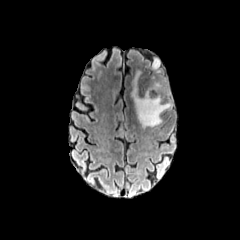
FLAIR magnetic resonance.
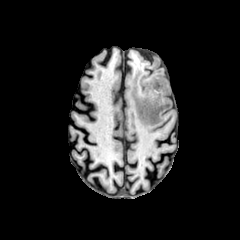
Same slice, T1-weighted MRI.
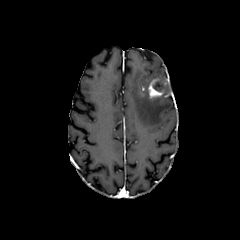
Post-contrast T1-weighted MR image of the same slice.
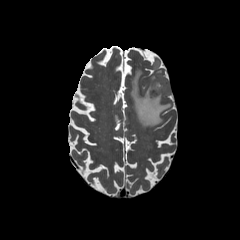
T2-weighted magnetic resonance.
Axial view, 240x240 px
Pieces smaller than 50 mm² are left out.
Segmented structures:
- necrotic tumor core: (left=153, top=82, right=162, bottom=91)
- peritumoral edema: (left=131, top=71, right=171, bottom=127), (left=152, top=56, right=161, bottom=73)
- enhancing tumor: (left=148, top=78, right=168, bottom=98)